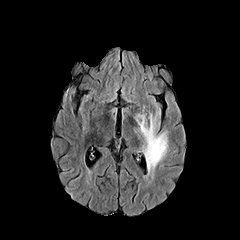
FLAIR magnetic resonance.
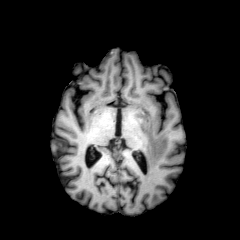
Same slice, T1-weighted MRI.
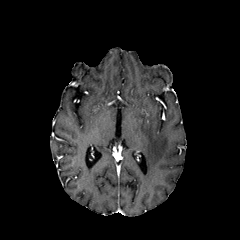
Post-contrast T1-weighted MR image of the same slice.
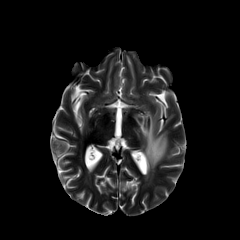
T2-weighted MR image.
Head.
The peritumoral edema is bounded by (136,109,167,179).